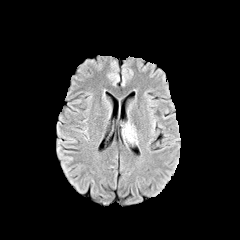
FLAIR MR image.
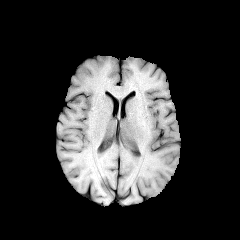
Same slice, T1-weighted magnetic resonance.
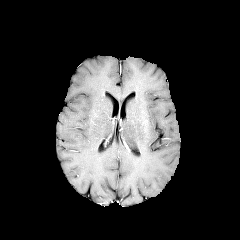
Post-contrast T1-weighted MRI of the same slice.
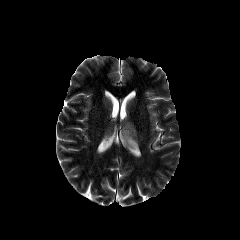
T2-weighted MR image.
Brain.
{"peritumoral_edema": ["(122,124,137,144)"]}